FLAIR MRI.
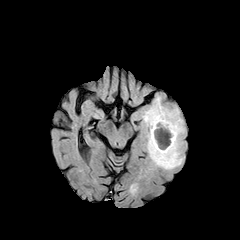
T1-weighted magnetic resonance.
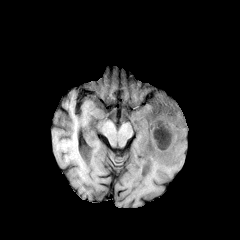
Post-contrast T1-weighted MR image.
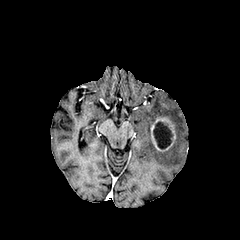
T2-weighted MRI.
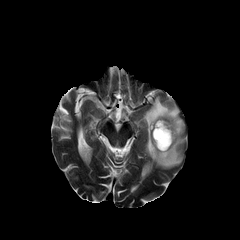
Axial plane
enhancing tumor: (151, 117, 175, 151)
peritumoral edema: (140, 95, 184, 169)
necrotic tumor core: (153, 122, 173, 149)